FLAIR MR.
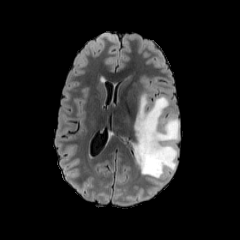
T1-weighted magnetic resonance.
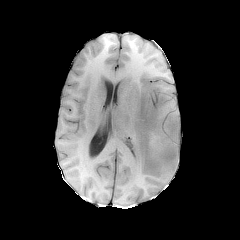
Post-contrast T1-weighted MR.
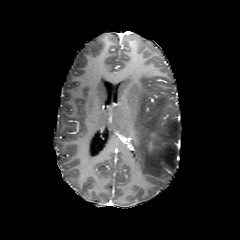
T2-weighted magnetic resonance.
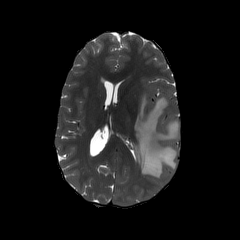
Brain. 240x240 px.
The enhancing tumor is bounded by rect(148, 132, 160, 151). The peritumoral edema is bounded by rect(134, 93, 179, 178).